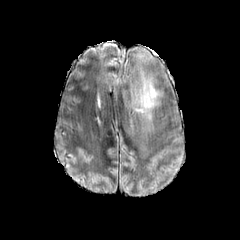
FLAIR MR image.
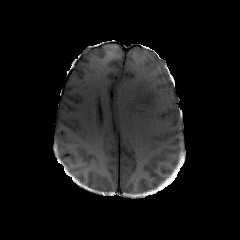
T1-weighted MR image of the same slice.
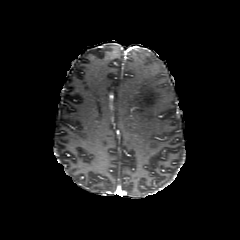
Post-contrast T1-weighted MR image of the same slice.
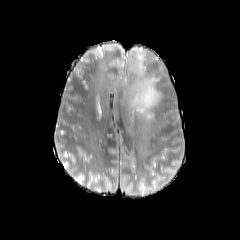
T2-weighted MRI.
Axial view | Head
Segmented structures:
- peritumoral edema: 125, 64, 163, 130